Brain
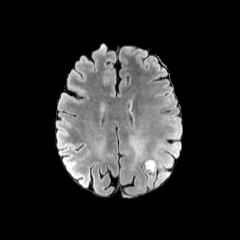
FLAIR magnetic resonance.
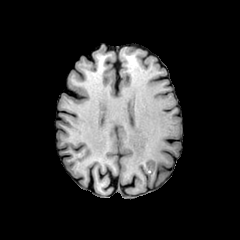
T1-weighted MR.
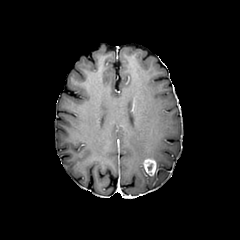
Post-contrast T1-weighted MRI.
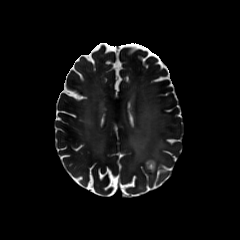
T2-weighted MRI of the same slice.
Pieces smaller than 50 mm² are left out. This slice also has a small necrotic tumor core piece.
enhancing tumor — 144 159 156 175
peritumoral edema — 129 136 160 162